Image width 240 mm. Axial view. Brain.
FLAIR MR.
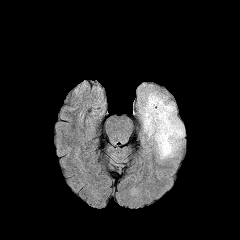
T1-weighted MR image.
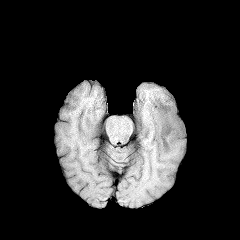
Post-contrast T1-weighted MR.
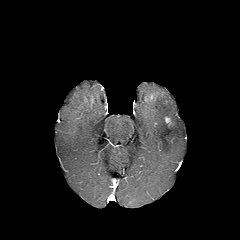
T2-weighted MRI.
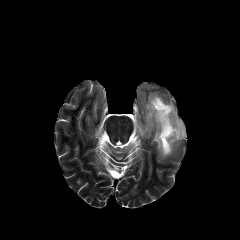
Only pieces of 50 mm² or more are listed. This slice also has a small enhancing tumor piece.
{"peritumoral_edema": ["bbox=[140, 91, 184, 159]"]}